Brain | Image width 240 mm, 1.00 mm slice spacing | Axial plane | 240x240 px
FLAIR MRI.
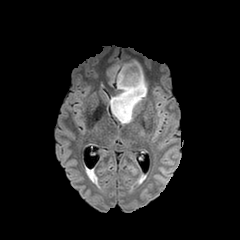
T1-weighted MR.
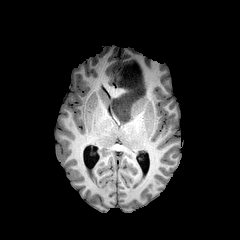
Post-contrast T1-weighted MR image.
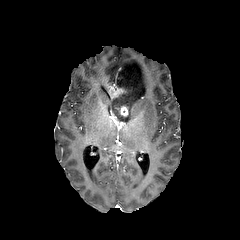
T2-weighted MRI.
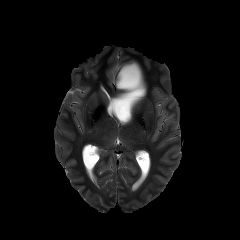
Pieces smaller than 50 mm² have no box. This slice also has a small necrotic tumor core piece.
enhancing tumor: box=[119, 106, 128, 116] | peritumoral edema: box=[110, 60, 146, 123]